FLAIR MR image.
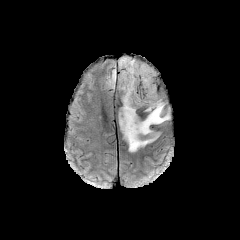
T1-weighted magnetic resonance.
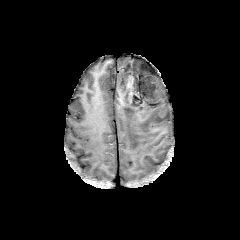
Post-contrast T1-weighted MR.
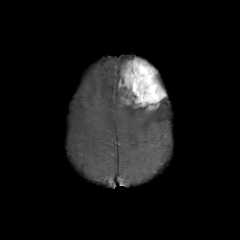
T2-weighted MR.
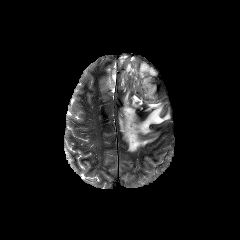
Axial slice | Image size 240x240
The enhancing tumor is at box(118, 58, 165, 110). 3 peritumoral edema regions appear at box(119, 57, 131, 69); box(119, 102, 170, 151); box(106, 69, 116, 87).